FLAIR magnetic resonance.
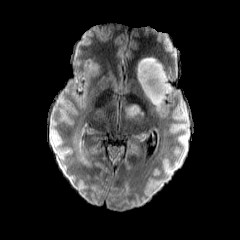
T1-weighted MR image.
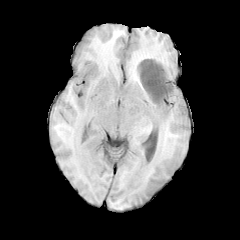
Post-contrast T1-weighted MR.
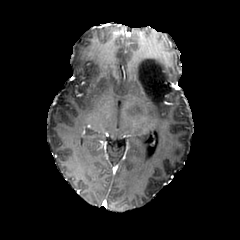
T2-weighted MRI.
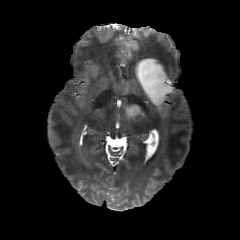
Axial slice; Head
peritumoral edema: (136, 57, 171, 107), (127, 103, 144, 115)